Head
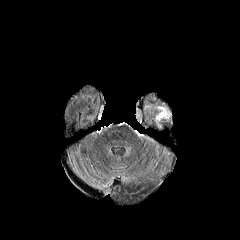
FLAIR MR image.
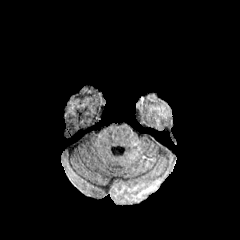
Same slice, T1-weighted MR image.
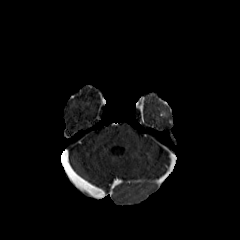
Same slice, post-contrast T1-weighted MR image.
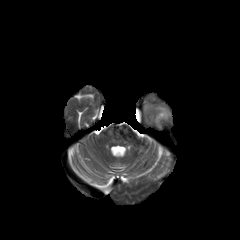
Same slice, T2-weighted MR.
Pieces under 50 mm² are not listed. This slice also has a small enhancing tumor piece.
peritumoral edema: <box>158,107,169,118</box>